FLAIR magnetic resonance.
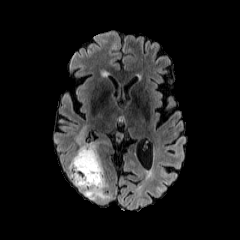
T1-weighted MR.
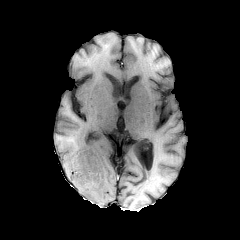
Post-contrast T1-weighted MR image.
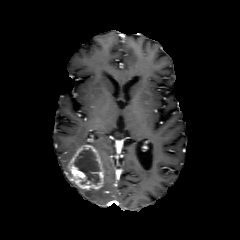
T2-weighted MRI.
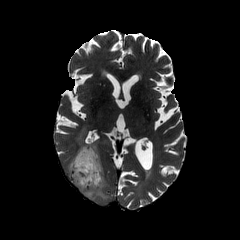
Brain, 240x240 px
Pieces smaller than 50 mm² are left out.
The 2 largest peritumoral edema regions are bounded by bbox=[77, 129, 84, 143]; bbox=[73, 171, 109, 201]. The enhancing tumor is at bbox=[69, 145, 103, 190]. The largest necrotic tumor core region is bounded by bbox=[73, 149, 99, 184].